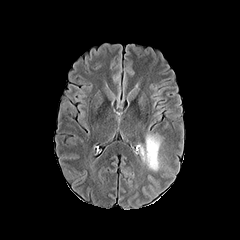
FLAIR MR image.
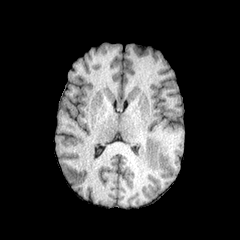
T1-weighted MRI.
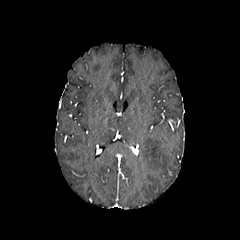
Post-contrast T1-weighted magnetic resonance of the same slice.
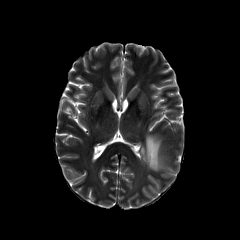
Same slice, T2-weighted MRI.
Image size 240x240; Head
The peritumoral edema is located at bbox(140, 134, 160, 171).